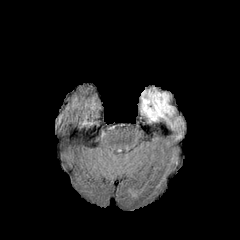
FLAIR MR image.
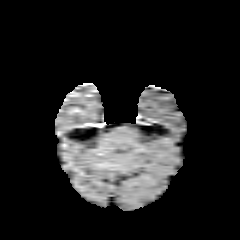
T1-weighted MRI of the same slice.
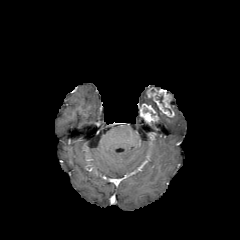
Post-contrast T1-weighted MRI.
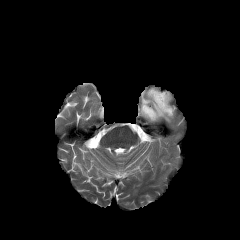
T2-weighted MR of the same slice.
Brain; Axial view
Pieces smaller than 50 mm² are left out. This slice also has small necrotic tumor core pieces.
{
  "enhancing_tumor": [
    "(left=147, top=88, right=174, bottom=117)",
    "(left=140, top=103, right=158, bottom=122)"
  ],
  "peritumoral_edema": [
    "(left=141, top=90, right=172, bottom=127)"
  ]
}